FLAIR MR image.
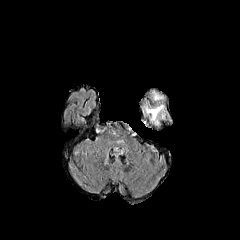
T1-weighted magnetic resonance.
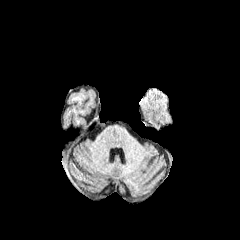
Post-contrast T1-weighted MR.
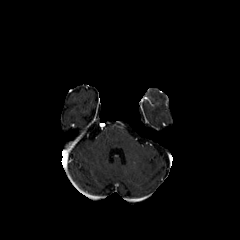
T2-weighted MRI.
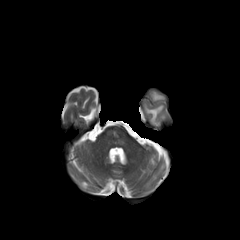
Brain | Axial slice
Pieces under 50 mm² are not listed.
The 2 largest peritumoral edema regions are bounded by bbox(152, 91, 163, 100); bbox(145, 105, 163, 125).